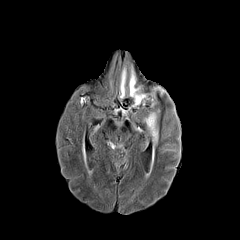
FLAIR MR image.
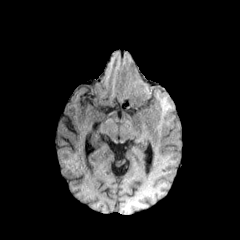
T1-weighted MR of the same slice.
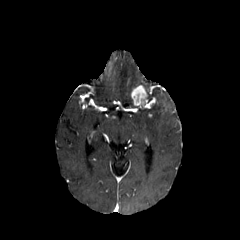
Post-contrast T1-weighted MR image.
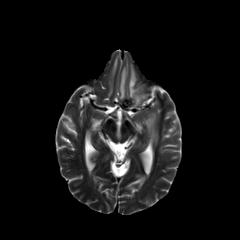
Same slice, T2-weighted magnetic resonance.
Head. 240x240 px.
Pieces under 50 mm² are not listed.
The largest enhancing tumor region is located at {"x1": 131, "y1": 85, "x2": 147, "y2": 106}. The 3 largest peritumoral edema regions are located at {"x1": 129, "y1": 66, "x2": 136, "y2": 96}, {"x1": 119, "y1": 66, "x2": 126, "y2": 100}, {"x1": 143, "y1": 112, "x2": 158, "y2": 150}.